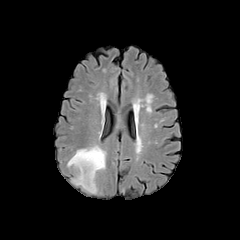
FLAIR MR.
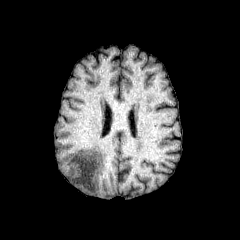
T1-weighted magnetic resonance.
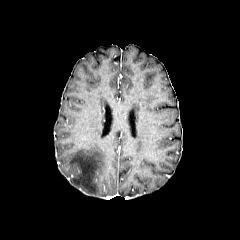
Same slice, post-contrast T1-weighted MRI.
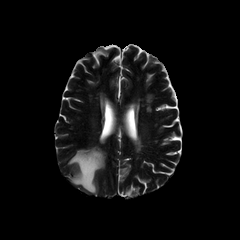
T2-weighted magnetic resonance.
Brain, 240x240 px
peritumoral edema at [67,146,105,193]